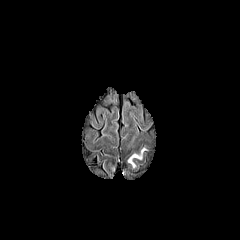
FLAIR magnetic resonance.
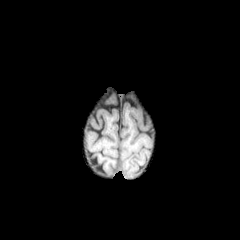
Same slice, T1-weighted magnetic resonance.
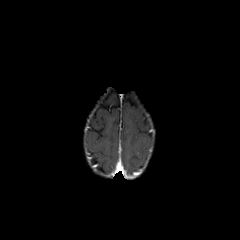
Post-contrast T1-weighted MR.
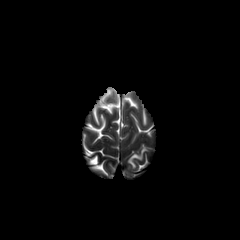
T2-weighted MR of the same slice.
Brain | Axial view | 240x240
<segmentation>
  <peritumoral_edema>x1=128 y1=149 x2=144 y2=167</peritumoral_edema>
</segmentation>